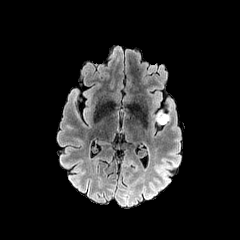
FLAIR MR image.
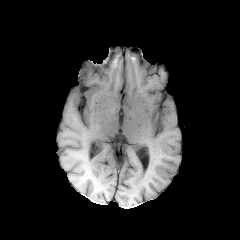
T1-weighted MRI of the same slice.
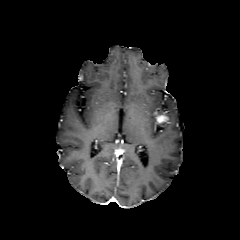
Post-contrast T1-weighted MR of the same slice.
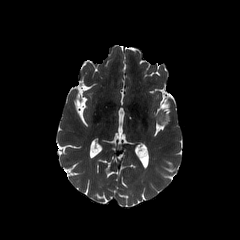
T2-weighted MR of the same slice.
Axial view, 240x240 px, Brain
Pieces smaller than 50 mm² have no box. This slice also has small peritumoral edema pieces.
enhancing tumor: (left=156, top=114, right=168, bottom=123)